FLAIR MR.
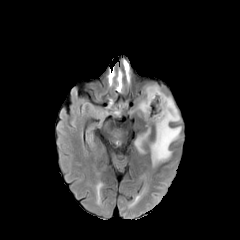
T1-weighted MRI.
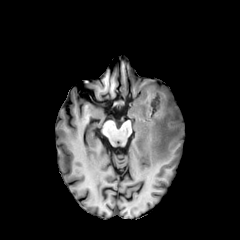
Post-contrast T1-weighted magnetic resonance.
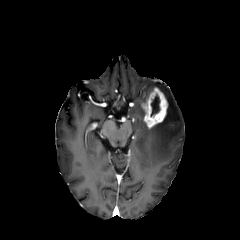
T2-weighted MRI.
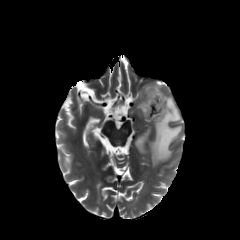
Head
peritumoral edema at <box>150,95,181,166</box>, <box>135,129,150,152</box>, <box>136,85,158,115</box>
enhancing tumor at <box>141,87,168,128</box>
necrotic tumor core at <box>151,95,159,116</box>